FLAIR MR.
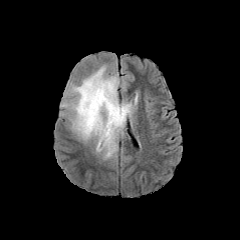
T1-weighted magnetic resonance.
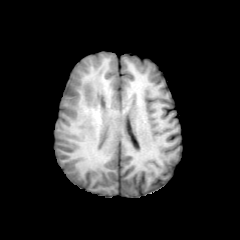
Post-contrast T1-weighted magnetic resonance.
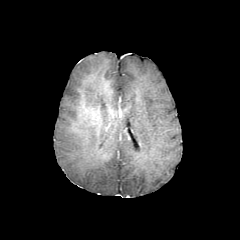
T2-weighted MRI.
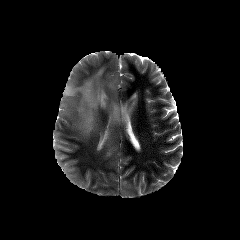
Brain. Axial slice. 240x240.
Segmented structures:
• peritumoral edema: [62, 66, 132, 158]